Axial view
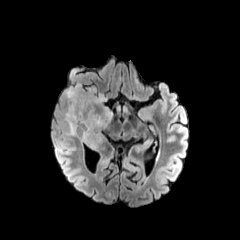
FLAIR magnetic resonance.
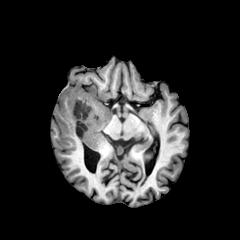
T1-weighted magnetic resonance.
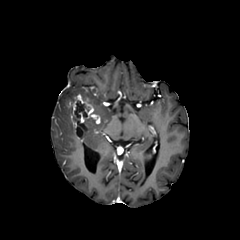
Post-contrast T1-weighted magnetic resonance of the same slice.
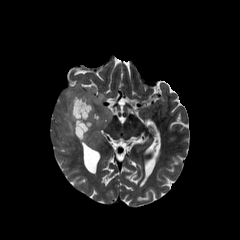
T2-weighted magnetic resonance.
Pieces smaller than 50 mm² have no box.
peritumoral edema at box(64, 108, 75, 135); box(80, 89, 112, 148); box(64, 85, 79, 102)
necrotic tumor core at box(75, 102, 83, 117); box(76, 121, 86, 137)
enhancing tumor at box(68, 94, 100, 140)